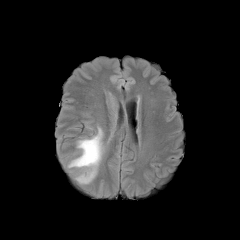
FLAIR MRI.
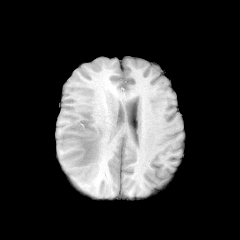
Same slice, T1-weighted MR image.
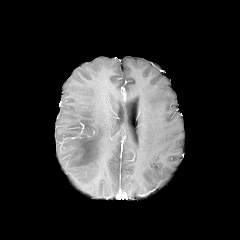
Post-contrast T1-weighted magnetic resonance.
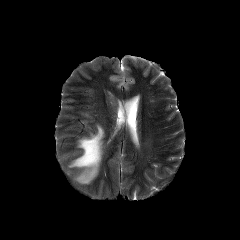
T2-weighted magnetic resonance.
240x240.
The peritumoral edema is at 68:126:103:183.